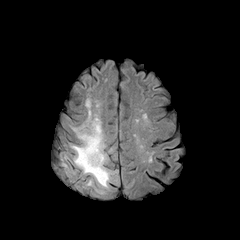
FLAIR MR.
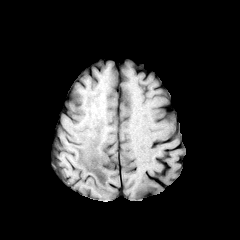
Same slice, T1-weighted MR image.
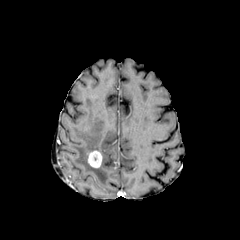
Post-contrast T1-weighted MR.
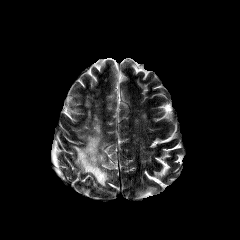
Same slice, T2-weighted MRI.
Axial plane, Head
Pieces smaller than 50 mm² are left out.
The enhancing tumor is located at (x1=87, y1=150, x2=102, y2=168). The largest peritumoral edema region is located at (x1=71, y1=100, x2=111, y2=187).